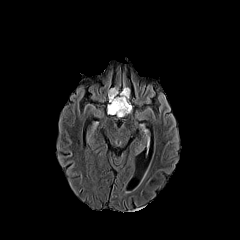
FLAIR magnetic resonance.
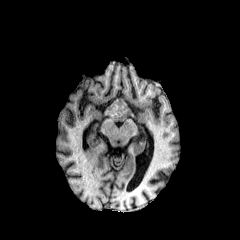
Same slice, T1-weighted magnetic resonance.
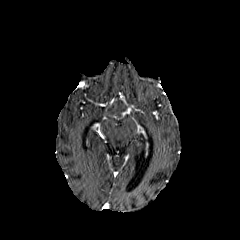
Post-contrast T1-weighted MR image.
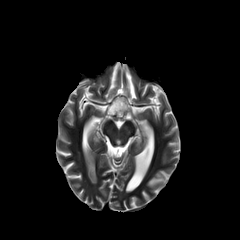
T2-weighted MRI.
Brain
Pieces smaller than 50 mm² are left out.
peritumoral edema = [108,88,117,102], [120,87,129,103]
enhancing tumor = [107,98,118,117], [119,95,131,117]
necrotic tumor core = [108,98,127,117]